Axial view. 240x240. Slice index 78.
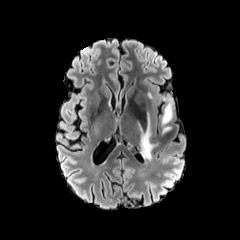
FLAIR magnetic resonance.
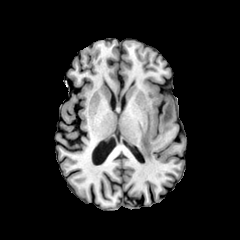
Same slice, T1-weighted MRI.
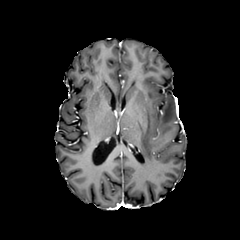
Post-contrast T1-weighted magnetic resonance of the same slice.
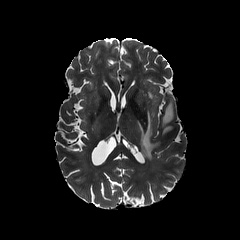
T2-weighted MR.
peritumoral edema: l=138, t=109, r=157, b=160; l=161, t=97, r=173, b=133